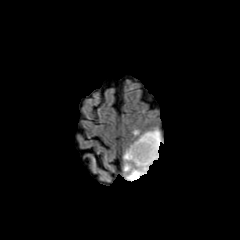
FLAIR magnetic resonance.
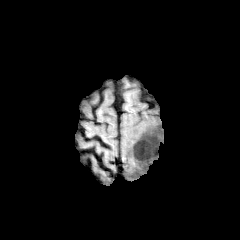
Same slice, T1-weighted MR image.
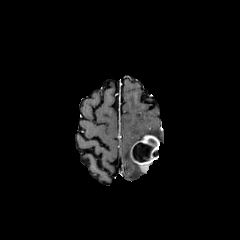
Post-contrast T1-weighted magnetic resonance.
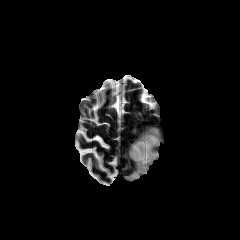
T2-weighted MR image of the same slice.
Head, Axial plane
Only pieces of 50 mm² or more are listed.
necrotic tumor core: bounding box [132, 143, 152, 162]
peritumoral edema: bounding box [124, 163, 131, 171], [137, 128, 161, 141], [126, 164, 143, 181], [123, 144, 132, 161]
enhancing tumor: bounding box [130, 135, 159, 173]